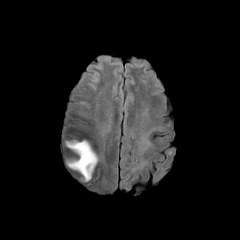
FLAIR MRI.
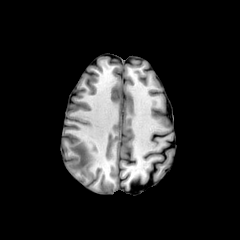
T1-weighted magnetic resonance.
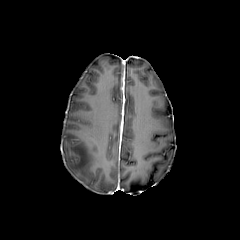
Post-contrast T1-weighted MR image.
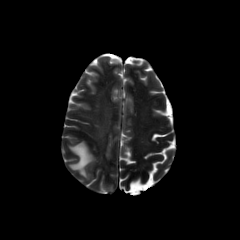
T2-weighted MR image of the same slice.
240x240 px | Axial slice
peritumoral edema: 66,140,97,179